FLAIR MRI.
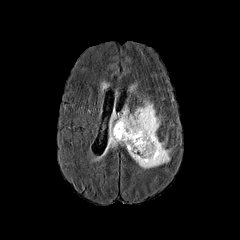
T1-weighted magnetic resonance.
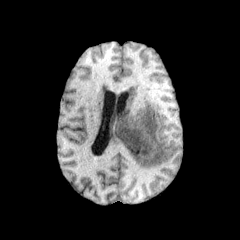
Post-contrast T1-weighted MR image.
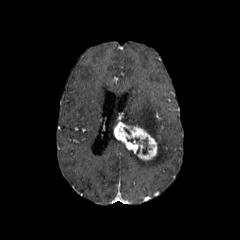
T2-weighted MR image.
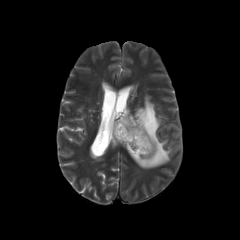
Axial slice. Brain.
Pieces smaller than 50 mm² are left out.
The largest necrotic tumor core region appears at left=142, top=139, right=147, bottom=154. 2 peritumoral edema regions are located at left=105, top=114, right=122, bottom=151; left=121, top=100, right=170, bottom=168. The enhancing tumor is located at left=114, top=118, right=157, bottom=160.